FLAIR MR.
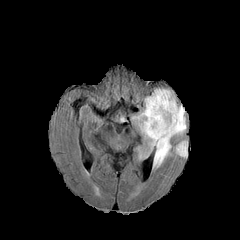
T1-weighted magnetic resonance.
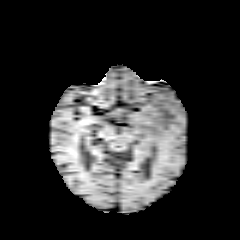
Post-contrast T1-weighted MR.
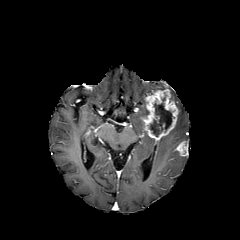
T2-weighted MRI.
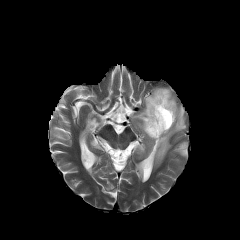
240x240; Brain
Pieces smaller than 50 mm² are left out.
necrotic tumor core: [149, 103, 171, 136]
enhancing tumor: [141, 88, 179, 141], [175, 141, 187, 156]
peritumoral edema: [132, 102, 186, 167]